Brain
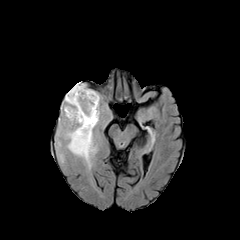
FLAIR magnetic resonance.
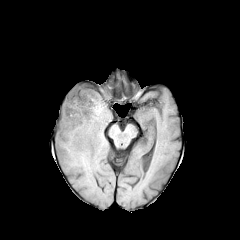
T1-weighted MR image.
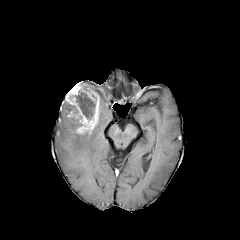
Post-contrast T1-weighted magnetic resonance.
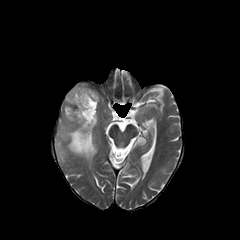
T2-weighted magnetic resonance.
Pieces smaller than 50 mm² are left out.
necrotic tumor core: (x1=75, y1=92, x2=95, y2=119) | peritumoral edema: (x1=57, y1=141, x2=64, y2=162), (x1=61, y1=103, x2=97, y2=165) | enhancing tumor: (x1=65, y1=82, x2=99, y2=134)